FLAIR MRI.
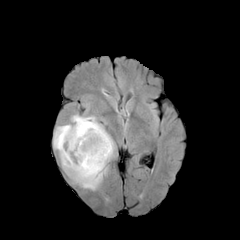
T1-weighted magnetic resonance.
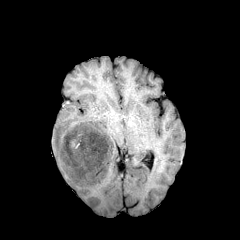
Post-contrast T1-weighted MR.
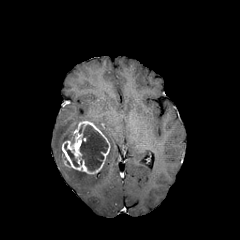
T2-weighted magnetic resonance.
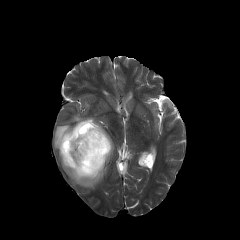
Axial slice, Head
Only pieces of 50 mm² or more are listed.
The enhancing tumor lies within x1=62, y1=120, x2=110, y2=174. The 2 largest necrotic tumor core regions appear at x1=64, y1=143, x2=78, y2=166; x1=80, y1=125, x2=108, y2=170. The largest peritumoral edema region lies within x1=53, y1=115, x2=114, y2=190.